FLAIR magnetic resonance.
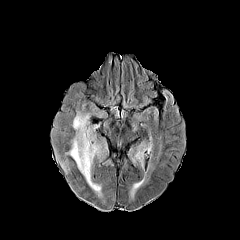
T1-weighted MRI.
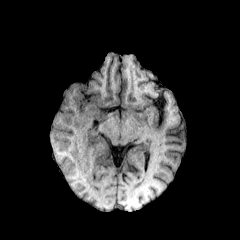
Post-contrast T1-weighted MR image.
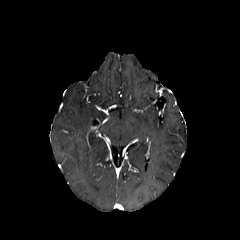
T2-weighted magnetic resonance.
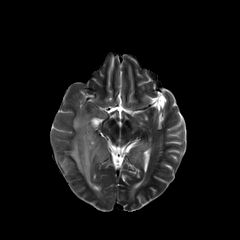
Axial slice
peritumoral edema: 56, 113, 101, 196; 133, 151, 142, 162